Slice 89/155.
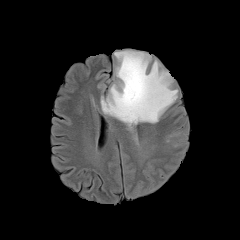
FLAIR MRI.
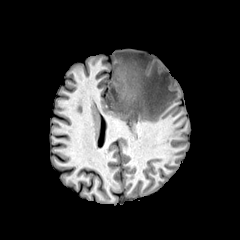
T1-weighted MR image.
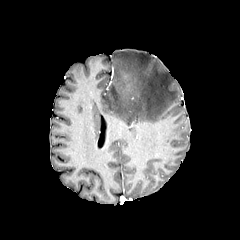
Post-contrast T1-weighted magnetic resonance.
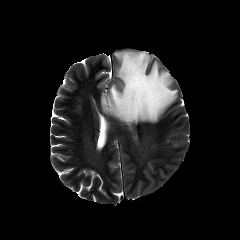
T2-weighted magnetic resonance.
peritumoral edema at box=[166, 131, 189, 147]; box=[101, 50, 177, 144]